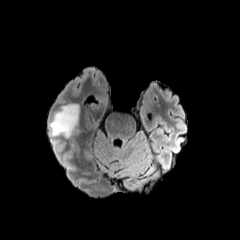
FLAIR MR.
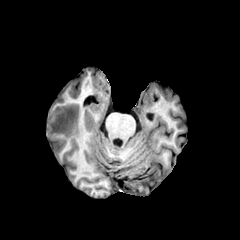
T1-weighted MR of the same slice.
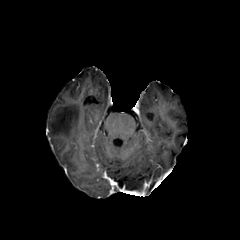
Post-contrast T1-weighted MR image.
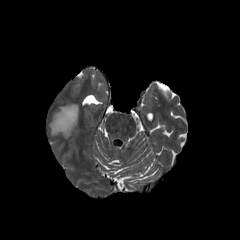
T2-weighted MR image.
Image size 240x240 | Axial plane
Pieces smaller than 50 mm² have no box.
The largest peritumoral edema region appears at bbox(49, 104, 78, 137).